Head.
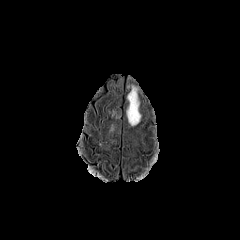
FLAIR MR.
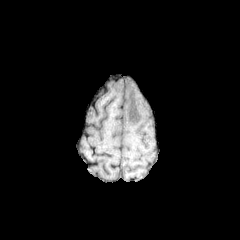
T1-weighted MR.
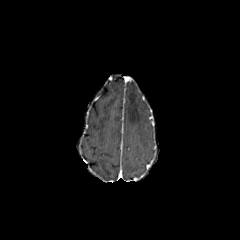
Post-contrast T1-weighted MR.
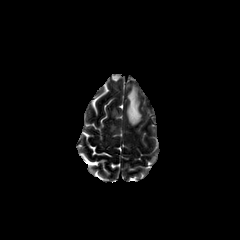
Same slice, T2-weighted MR.
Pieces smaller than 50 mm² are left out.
Segmented structures:
- peritumoral edema: bbox(126, 86, 141, 126)